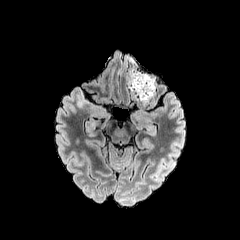
FLAIR MR.
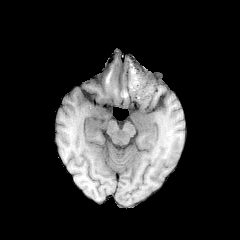
T1-weighted magnetic resonance.
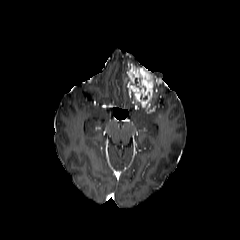
Post-contrast T1-weighted MR image.
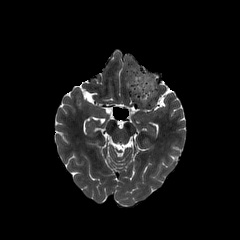
T2-weighted MR.
Axial view; 240x240 px; Head
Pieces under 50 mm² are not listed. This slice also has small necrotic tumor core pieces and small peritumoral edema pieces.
The enhancing tumor is located at left=125, top=64, right=154, bottom=107.